FLAIR magnetic resonance.
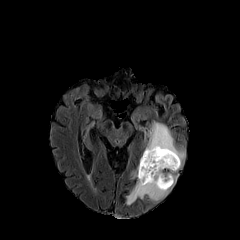
T1-weighted magnetic resonance.
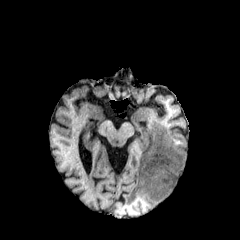
Post-contrast T1-weighted magnetic resonance.
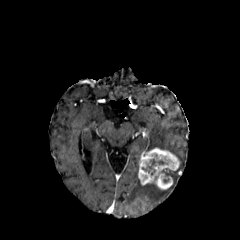
T2-weighted MRI.
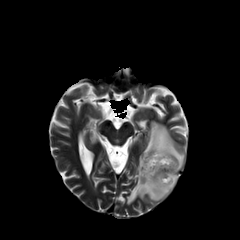
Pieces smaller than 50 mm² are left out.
peritumoral edema: [x1=126, y1=170, x2=177, y2=204], [x1=145, y1=121, x2=185, y2=169] | enhancing tumor: [x1=138, y1=147, x2=179, y2=189] | necrotic tumor core: [x1=142, y1=159, x2=155, y2=175]